FLAIR magnetic resonance.
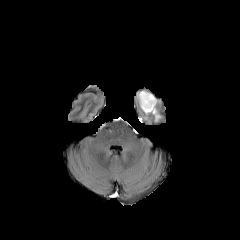
T1-weighted MR image.
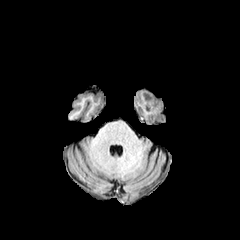
Post-contrast T1-weighted MR image.
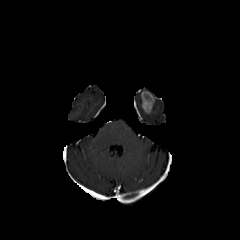
T2-weighted magnetic resonance.
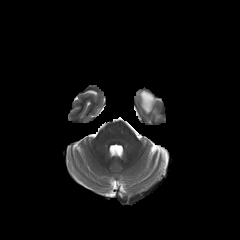
Axial view; Head
peritumoral edema — bbox(137, 90, 148, 119); bbox(150, 99, 161, 121)
enhancing tumor — bbox(141, 90, 155, 113)